Axial view | Image size 240x240
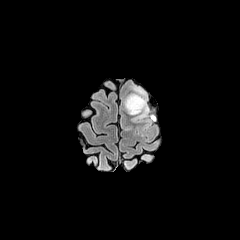
FLAIR MR.
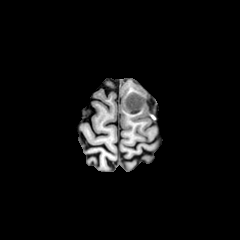
T1-weighted magnetic resonance.
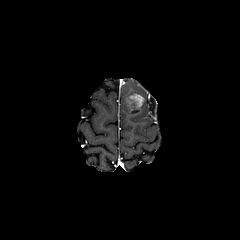
Post-contrast T1-weighted MR.
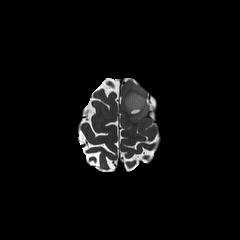
T2-weighted MR image of the same slice.
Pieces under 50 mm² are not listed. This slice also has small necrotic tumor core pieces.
peritumoral_edema:
  - (123,84,151,123)
enhancing_tumor:
  - (126,94,144,114)